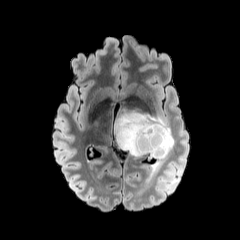
FLAIR MRI.
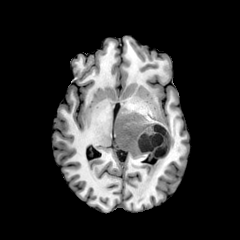
T1-weighted MR image.
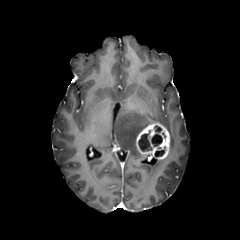
Post-contrast T1-weighted MR image of the same slice.
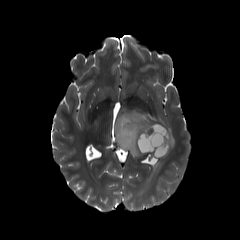
T2-weighted MRI of the same slice.
Head; Axial view
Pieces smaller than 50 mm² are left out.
The 3 largest necrotic tumor core regions are located at 138 130 152 151, 151 126 162 146, 155 149 165 156. 2 peritumoral edema regions appear at 115 111 174 156, 148 159 164 180. The enhancing tumor lies within 136 123 170 159.